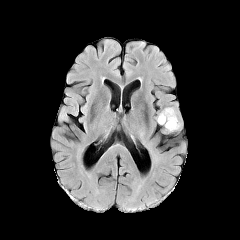
FLAIR MRI.
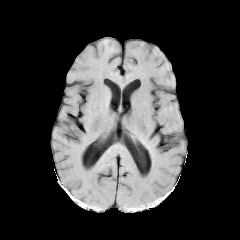
T1-weighted MRI.
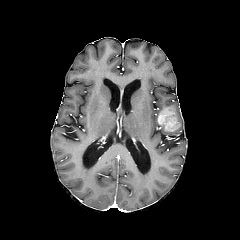
Same slice, post-contrast T1-weighted magnetic resonance.
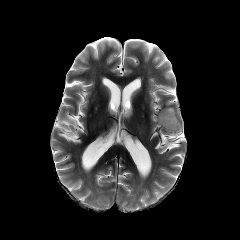
T2-weighted MR of the same slice.
Head
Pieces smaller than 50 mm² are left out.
The enhancing tumor lies within 158, 107, 180, 131. The largest peritumoral edema region lies within 172, 107, 182, 130.